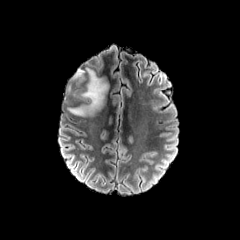
FLAIR MRI.
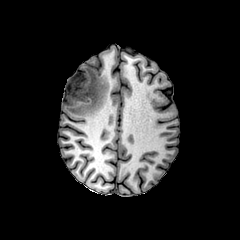
Same slice, T1-weighted MR image.
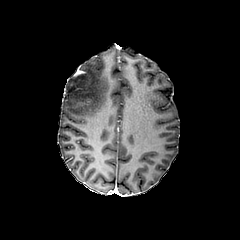
Post-contrast T1-weighted MR image.
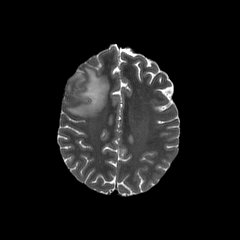
T2-weighted MR of the same slice.
Head. Axial plane.
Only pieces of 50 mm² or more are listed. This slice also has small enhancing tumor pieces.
The largest peritumoral edema region appears at x1=67 y1=68 x2=108 y2=116.